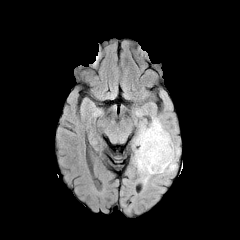
FLAIR magnetic resonance.
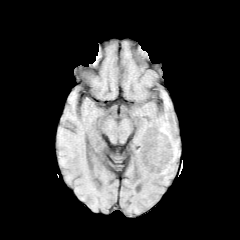
T1-weighted magnetic resonance.
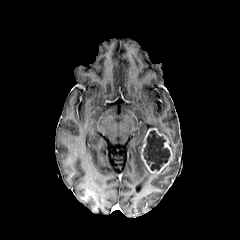
Post-contrast T1-weighted MRI of the same slice.
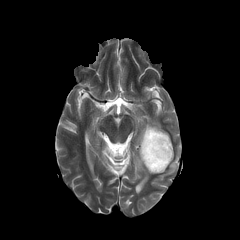
T2-weighted magnetic resonance.
Brain
The necrotic tumor core is at x1=143, y1=130, x2=170, y2=170. The enhancing tumor lies within x1=141, y1=128, x2=173, y2=173. The peritumoral edema is located at x1=134, y1=117, x2=178, y2=180.